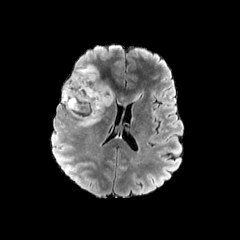
FLAIR MRI.
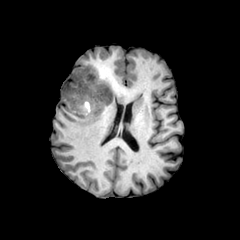
T1-weighted magnetic resonance.
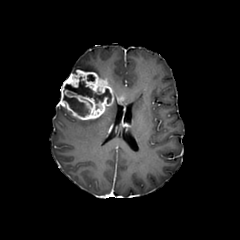
Post-contrast T1-weighted magnetic resonance.
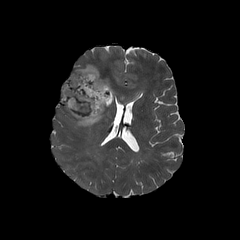
Same slice, T2-weighted MR image.
Axial plane
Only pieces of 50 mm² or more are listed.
necrotic_tumor_core:
  - left=63, top=94, right=90, bottom=116
  - left=65, top=77, right=111, bottom=103
peritumoral_edema:
  - left=76, top=115, right=102, bottom=127
  - left=132, top=91, right=142, bottom=100
  - left=72, top=57, right=99, bottom=76
enhancing_tumor:
  - left=59, top=69, right=115, bottom=120